FLAIR MR.
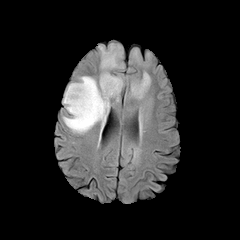
T1-weighted MR.
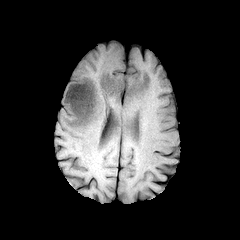
Post-contrast T1-weighted MR.
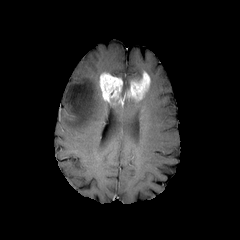
T2-weighted MRI.
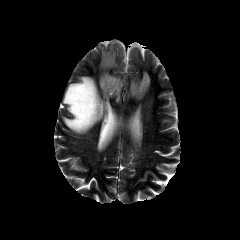
240x240 px
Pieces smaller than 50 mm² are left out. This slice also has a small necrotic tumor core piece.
The 2 largest peritumoral edema regions are bounded by {"x1": 62, "y1": 76, "x2": 110, "y2": 134}, {"x1": 99, "y1": 44, "x2": 122, "y2": 72}. 2 enhancing tumor regions are located at {"x1": 124, "y1": 72, "x2": 150, "y2": 99}, {"x1": 99, "y1": 72, "x2": 123, "y2": 103}.